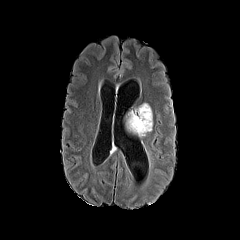
FLAIR MRI.
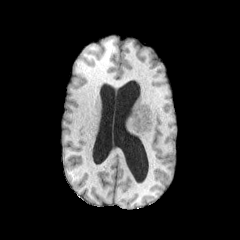
T1-weighted MR.
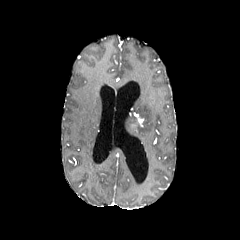
Same slice, post-contrast T1-weighted magnetic resonance.
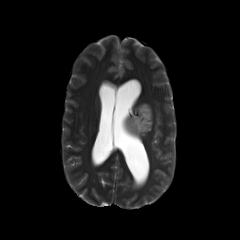
Same slice, T2-weighted magnetic resonance.
Head
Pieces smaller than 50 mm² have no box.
Annotated regions:
• enhancing tumor: 134:113:143:127
• peritumoral edema: 128:103:152:136